FLAIR MR image.
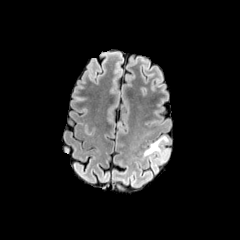
T1-weighted MR.
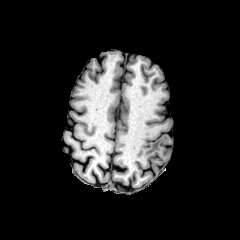
Post-contrast T1-weighted MR.
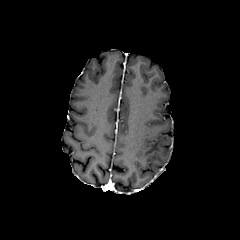
T2-weighted magnetic resonance.
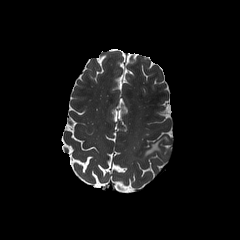
240x240 px
The peritumoral edema is at box=[144, 136, 168, 158].